FLAIR magnetic resonance.
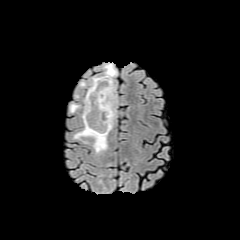
T1-weighted MRI.
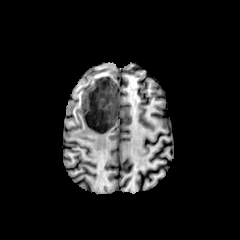
Post-contrast T1-weighted magnetic resonance.
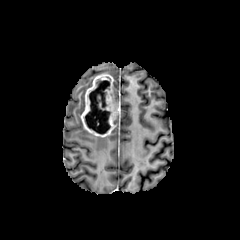
T2-weighted MRI.
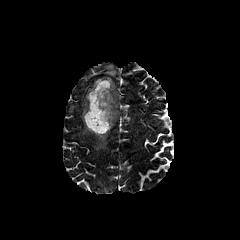
Axial view. Brain.
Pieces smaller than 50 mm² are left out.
enhancing tumor — bbox(80, 74, 119, 137)
peritumoral edema — bbox(69, 103, 79, 112); bbox(103, 63, 117, 78); bbox(73, 128, 107, 153)
necrotic tumor core — bbox(85, 80, 110, 134)